FLAIR MR.
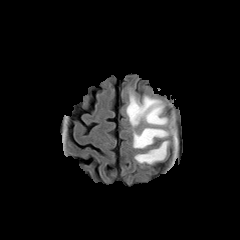
T1-weighted MR image.
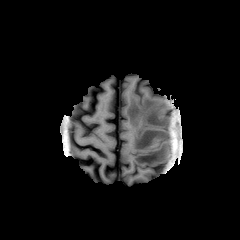
Post-contrast T1-weighted MR.
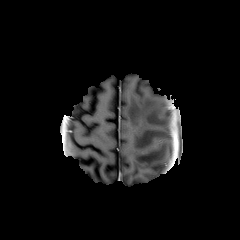
T2-weighted MR.
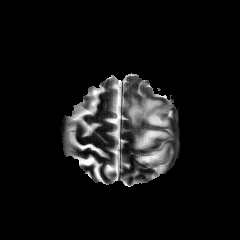
Head.
peritumoral edema: region(126, 95, 170, 126); region(133, 127, 168, 149); region(135, 141, 168, 164)